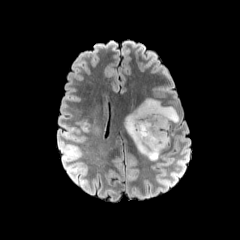
FLAIR magnetic resonance.
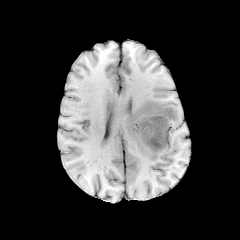
Same slice, T1-weighted MR.
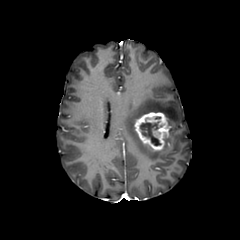
Post-contrast T1-weighted MR image.
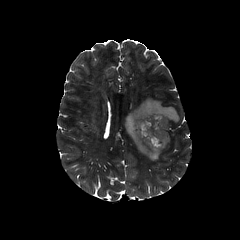
Same slice, T2-weighted MRI.
Image size 240x240
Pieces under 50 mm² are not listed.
enhancing tumor: bounding box x1=134 y1=112 x2=169 y2=150
peritumoral edema: bounding box x1=124 y1=98 x2=179 y2=160
necrotic tumor core: bounding box x1=139 y1=115 x2=166 y2=146